FLAIR magnetic resonance.
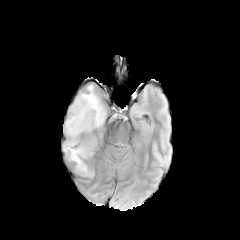
T1-weighted MRI.
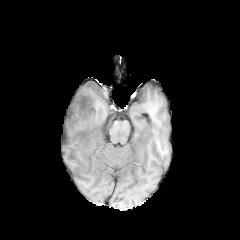
Post-contrast T1-weighted magnetic resonance.
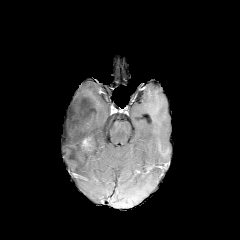
T2-weighted magnetic resonance.
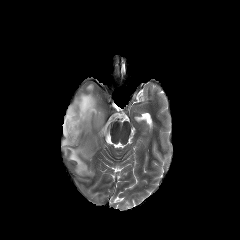
Brain
peritumoral edema: (x1=63, y1=83, x2=106, y2=177) | enhancing tumor: (x1=82, y1=138, x2=90, y2=148)